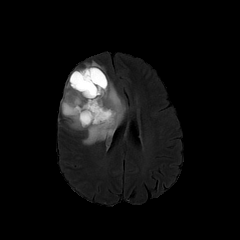
FLAIR MR image.
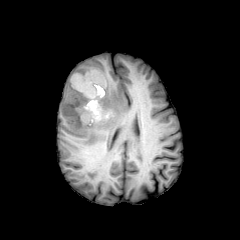
Same slice, T1-weighted MR image.
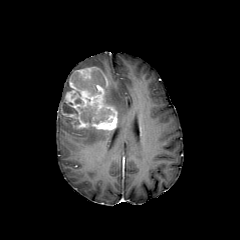
Post-contrast T1-weighted MRI.
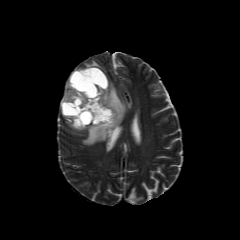
T2-weighted MRI.
240x240 px | Axial plane
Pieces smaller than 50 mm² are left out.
necrotic tumor core: (62,103,77,114), (71,70,105,94), (81,107,94,123), (94,110,110,123) | peritumoral edema: (60,79,72,107), (105,79,127,126), (64,116,116,145), (84,61,105,74) | enhancing tumor: (74,67,108,87), (61,73,117,130)